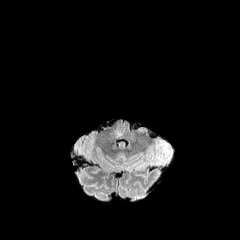
FLAIR magnetic resonance.
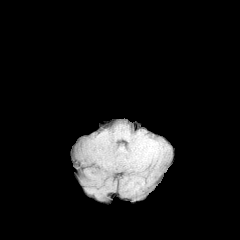
T1-weighted MR.
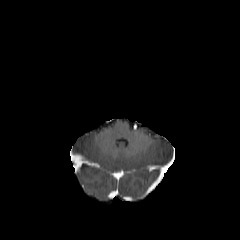
Same slice, post-contrast T1-weighted MRI.
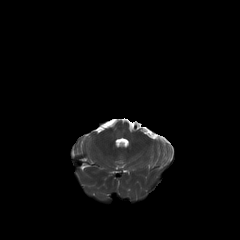
T2-weighted magnetic resonance of the same slice.
Brain
The peritumoral edema is at l=113, t=129, r=122, b=137.